FLAIR MRI.
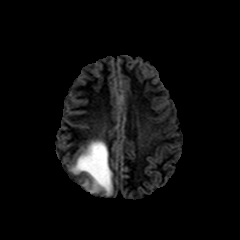
T1-weighted magnetic resonance.
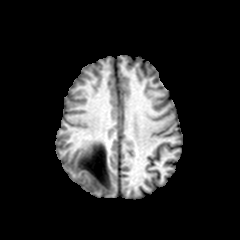
Post-contrast T1-weighted MR image.
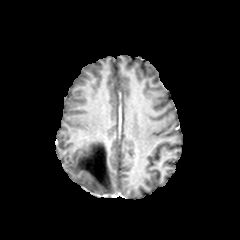
T2-weighted MR.
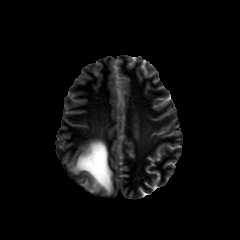
240x240; Axial slice
{"peritumoral_edema": ["bbox(70, 140, 112, 195)"]}